Slice index 44 | Brain
FLAIR MR.
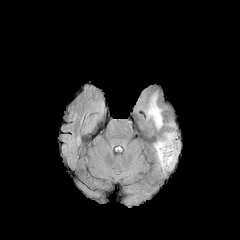
T1-weighted MRI.
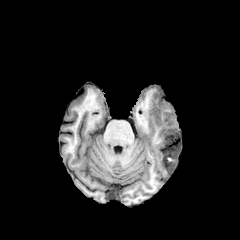
Post-contrast T1-weighted MRI.
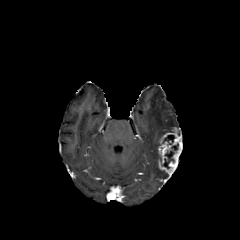
T2-weighted MRI.
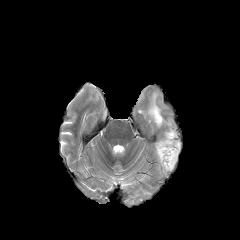
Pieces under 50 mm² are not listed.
necrotic tumor core: region(162, 144, 178, 168); region(163, 135, 175, 142)
enhancing tumor: region(158, 128, 182, 173)
peritumoral edema: region(148, 95, 162, 128)